FLAIR magnetic resonance.
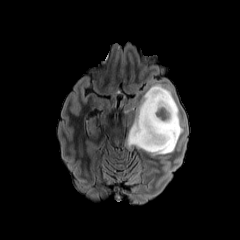
T1-weighted MR image.
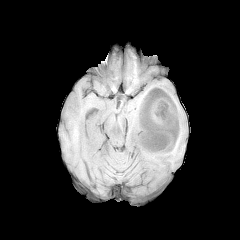
Post-contrast T1-weighted MR.
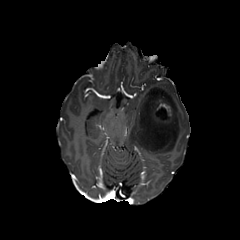
T2-weighted MRI.
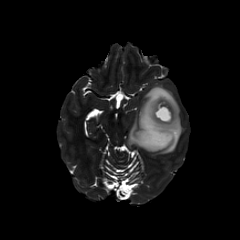
The necrotic tumor core is located at box=[156, 106, 167, 119]. The enhancing tumor is located at box=[151, 98, 174, 124]. The peritumoral edema lies within box=[127, 84, 183, 155].